FLAIR MR.
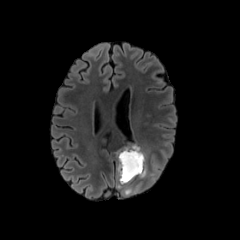
T1-weighted magnetic resonance.
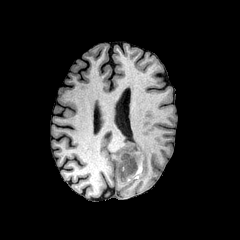
Post-contrast T1-weighted MR.
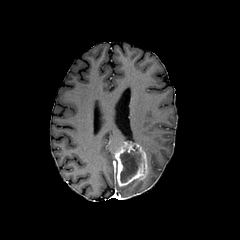
T2-weighted MR.
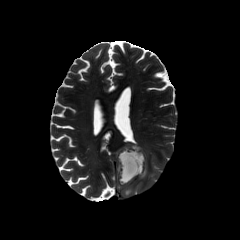
Image size 240x240. Brain. Axial slice.
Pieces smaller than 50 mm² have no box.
necrotic tumor core: <bbox>120, 150, 140, 182</bbox> | peritumoral edema: <bbox>123, 187, 133, 195</bbox> | enhancing tumor: <bbox>114, 143, 148, 186</bbox>